FLAIR MRI.
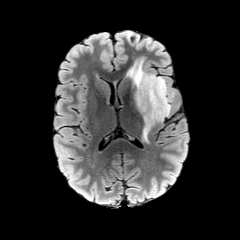
T1-weighted MR image.
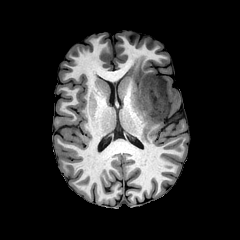
Post-contrast T1-weighted magnetic resonance.
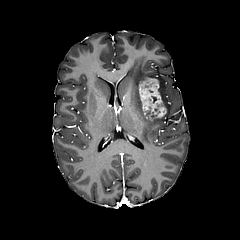
T2-weighted MRI.
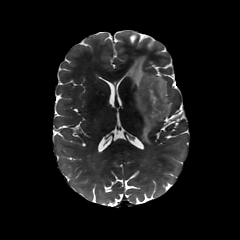
Brain
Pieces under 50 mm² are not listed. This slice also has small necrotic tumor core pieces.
The peritumoral edema is bounded by (x1=127, y1=58, x2=171, y2=142). The enhancing tumor is located at (x1=139, y1=77, x2=166, y2=120).